Axial plane | Slice 61/155 | Image width 240 mm | 240x240
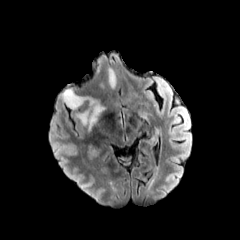
FLAIR MRI.
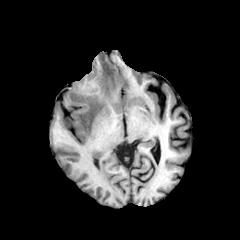
T1-weighted MRI.
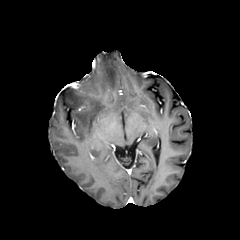
Post-contrast T1-weighted MRI.
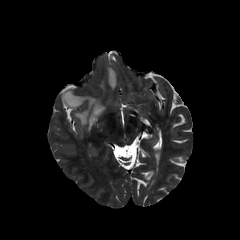
T2-weighted MR image.
2 peritumoral edema regions are bounded by 63, 89, 104, 129; 108, 67, 116, 88.